FLAIR MR image.
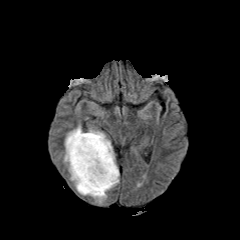
T1-weighted magnetic resonance.
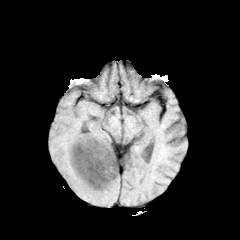
Post-contrast T1-weighted MRI.
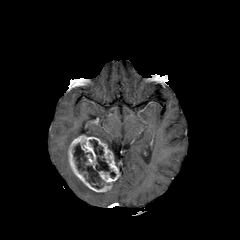
T2-weighted MRI.
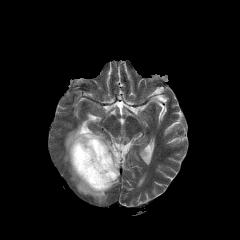
Brain.
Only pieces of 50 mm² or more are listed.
{"necrotic_tumor_core": ["x1=73 y1=139 x2=115 y2=188"], "peritumoral_edema": ["x1=64 y1=124 x2=113 y2=203"], "enhancing_tumor": ["x1=68 y1=134 x2=119 y2=192"]}